FLAIR MR.
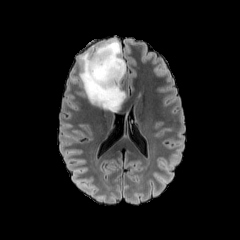
T1-weighted MR image.
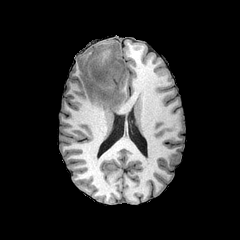
Post-contrast T1-weighted MRI.
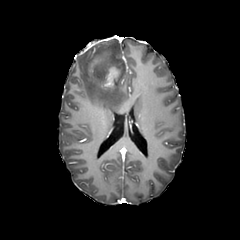
T2-weighted MRI.
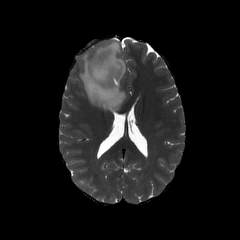
Axial slice
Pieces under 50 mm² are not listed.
enhancing_tumor:
  - (89,53,106,65)
  - (93,67,119,87)
peritumoral_edema:
  - (79,42,126,112)